FLAIR magnetic resonance.
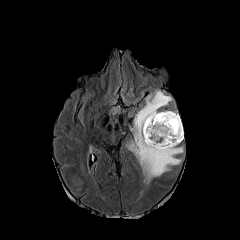
T1-weighted MR image.
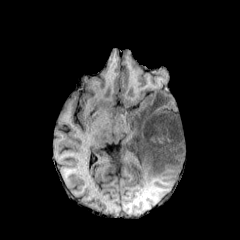
Post-contrast T1-weighted MR.
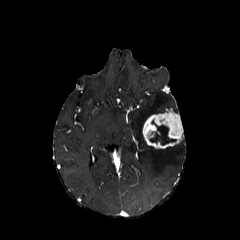
T2-weighted MR.
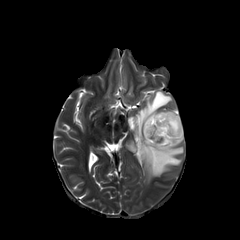
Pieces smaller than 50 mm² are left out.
<segmentation>
  <peritumoral_edema>(126, 90, 183, 183)</peritumoral_edema>
  <necrotic_tumor_core>(150, 125, 175, 144)</necrotic_tumor_core>
  <enhancing_tumor>(142, 110, 183, 148)</enhancing_tumor>
</segmentation>